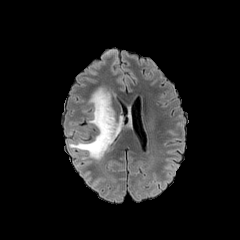
FLAIR magnetic resonance.
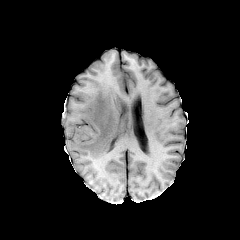
Same slice, T1-weighted magnetic resonance.
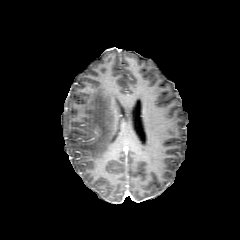
Same slice, post-contrast T1-weighted MR image.
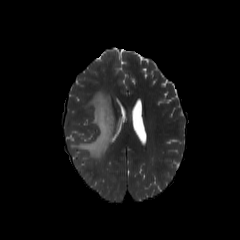
T2-weighted MRI.
Brain.
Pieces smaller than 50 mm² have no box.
peritumoral edema: bounding box 68:87:121:163